Axial plane. Image covers 240 mm x 240 mm.
FLAIR magnetic resonance.
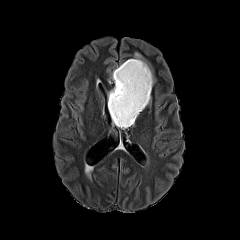
T1-weighted MRI.
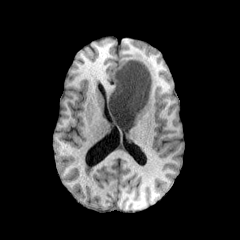
Post-contrast T1-weighted magnetic resonance.
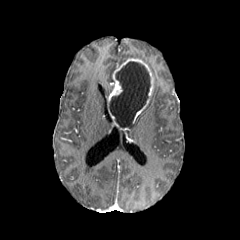
T2-weighted MR image.
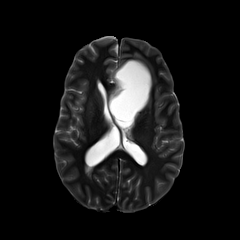
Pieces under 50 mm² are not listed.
The necrotic tumor core is located at 109, 61, 150, 127. The largest enhancing tumor region is located at 108, 58, 153, 123. The largest peritumoral edema region appears at 134, 52, 148, 65.